FLAIR MRI.
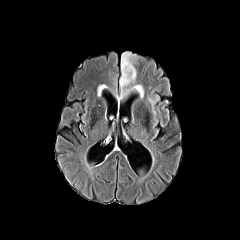
T1-weighted MRI.
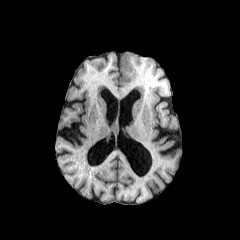
Post-contrast T1-weighted magnetic resonance.
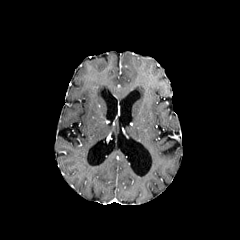
T2-weighted MRI.
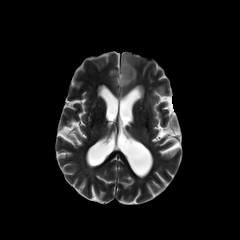
Brain, Axial slice
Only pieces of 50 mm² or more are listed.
peritumoral edema: bounding box 132:85:143:98, 119:52:136:97